Image size 240x240, Axial view
FLAIR MR.
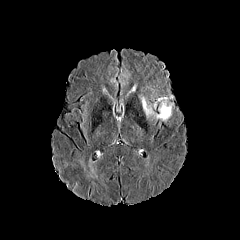
T1-weighted MRI.
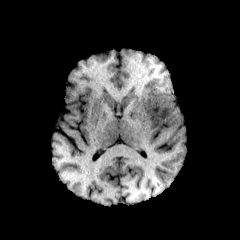
Post-contrast T1-weighted MR image.
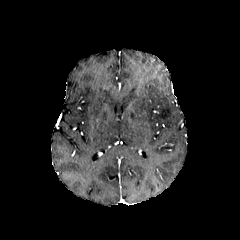
T2-weighted MRI.
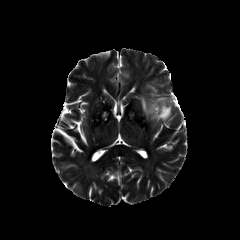
peritumoral edema = box(141, 96, 173, 120)